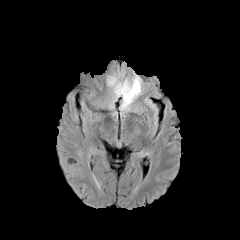
FLAIR MRI.
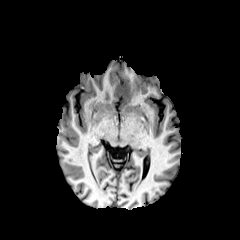
T1-weighted magnetic resonance of the same slice.
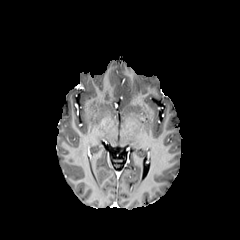
Post-contrast T1-weighted magnetic resonance of the same slice.
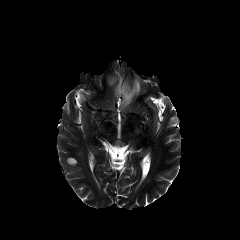
T2-weighted MRI.
Head. Image size 240x240.
peritumoral edema: bounding box [108,75,141,109]